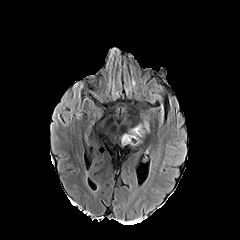
FLAIR MRI.
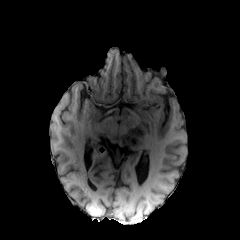
T1-weighted MRI of the same slice.
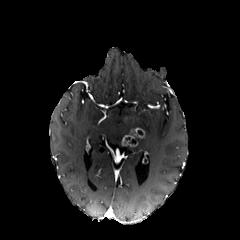
Same slice, post-contrast T1-weighted MRI.
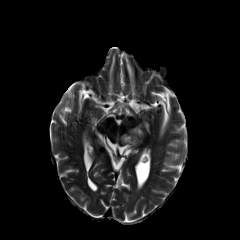
T2-weighted MRI.
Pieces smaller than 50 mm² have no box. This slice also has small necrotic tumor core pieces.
<segmentation>
  <peritumoral_edema>l=144, t=119, r=149, b=132</peritumoral_edema>
  <enhancing_tumor>l=121, t=127, r=145, b=146</enhancing_tumor>
</segmentation>